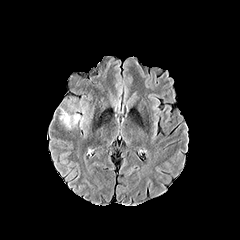
FLAIR magnetic resonance.
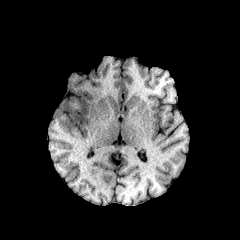
T1-weighted magnetic resonance.
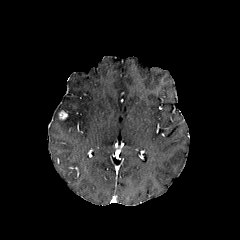
Post-contrast T1-weighted MR image.
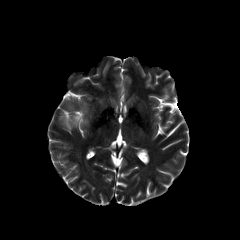
T2-weighted magnetic resonance.
Head, Axial plane, 240x240 px
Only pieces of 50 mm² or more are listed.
enhancing tumor — (59,110,67,120)
peritumoral edema — (63,114,85,127)